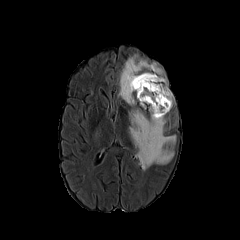
FLAIR magnetic resonance.
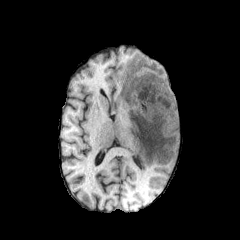
Same slice, T1-weighted MRI.
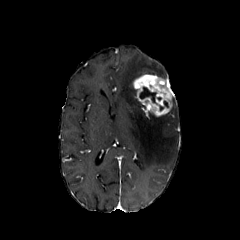
Post-contrast T1-weighted MR image of the same slice.
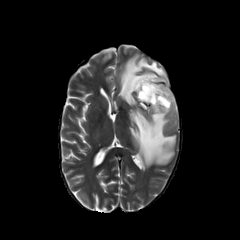
Same slice, T2-weighted magnetic resonance.
Image size 240x240 | Axial plane
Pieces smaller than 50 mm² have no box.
The enhancing tumor is bounded by rect(132, 74, 173, 116). The largest necrotic tumor core region lies within rect(139, 87, 156, 102). The 2 largest peritumoral edema regions appear at rect(118, 54, 165, 105); rect(129, 108, 176, 170).